FLAIR MR.
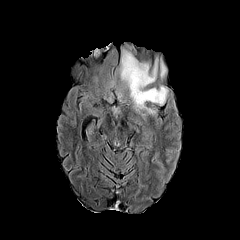
T1-weighted magnetic resonance.
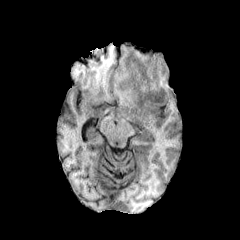
Post-contrast T1-weighted magnetic resonance.
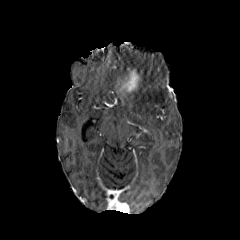
T2-weighted magnetic resonance.
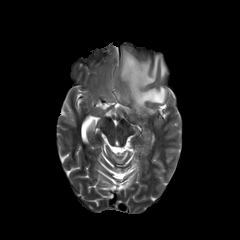
Axial view
<segmentation>
  <peritumoral_edema>box(117, 46, 169, 120); box(160, 55, 168, 80); box(89, 68, 100, 86)</peritumoral_edema>
  <enhancing_tumor>box(121, 68, 141, 91)</enhancing_tumor>
</segmentation>